Image covers 240 mm x 240 mm. Slice index 103.
FLAIR magnetic resonance.
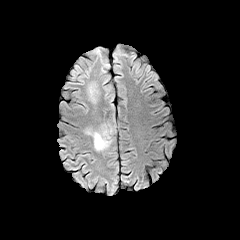
T1-weighted magnetic resonance.
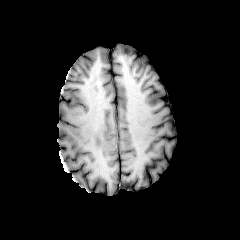
Post-contrast T1-weighted MRI.
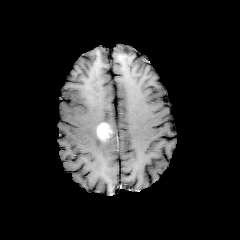
T2-weighted MR image.
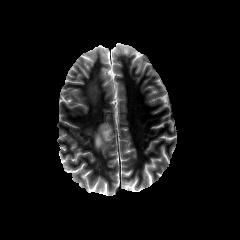
enhancing_tumor:
  - 97, 123, 111, 140
peritumoral_edema:
  - 85, 122, 114, 151
  - 86, 82, 99, 102